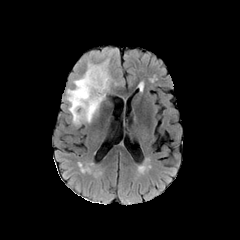
FLAIR MRI.
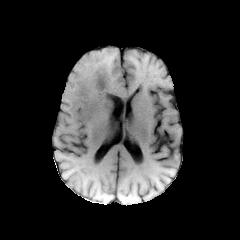
T1-weighted MR image of the same slice.
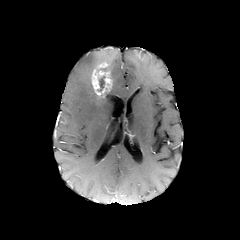
Post-contrast T1-weighted MRI.
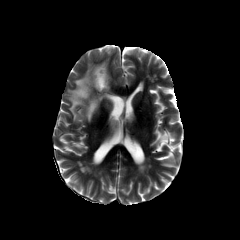
Same slice, T2-weighted MRI.
Head
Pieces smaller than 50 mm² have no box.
<segmentation>
  <peritumoral_edema>(67,63,104,124)</peritumoral_edema>
  <enhancing_tumor>(91,63,111,97)</enhancing_tumor>
  <necrotic_tumor_core>(99,76,104,91)</necrotic_tumor_core>
</segmentation>